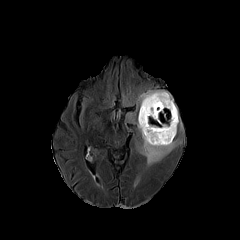
FLAIR MR image.
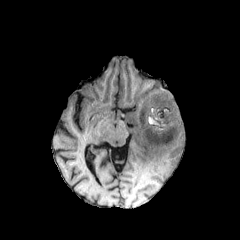
T1-weighted MR image of the same slice.
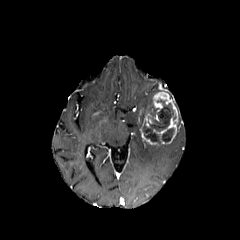
Post-contrast T1-weighted MRI of the same slice.
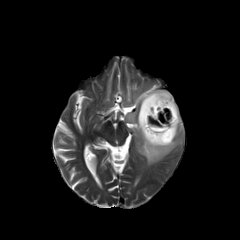
Same slice, T2-weighted MR.
Axial slice
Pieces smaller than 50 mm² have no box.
necrotic tumor core: [140,107,147,118], [142,100,173,143], [162,128,173,142] | enhancing tumor: [138,90,178,145] | peritumoral edema: [137,140,180,165], [137,89,161,115]